Image covers 240 mm x 240 mm, Axial slice, Head
FLAIR MR.
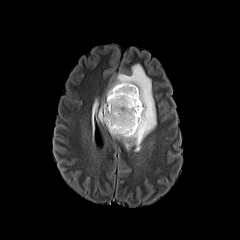
T1-weighted MR.
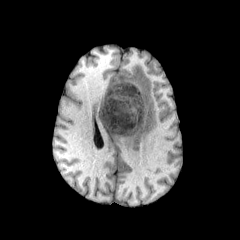
Post-contrast T1-weighted MR image.
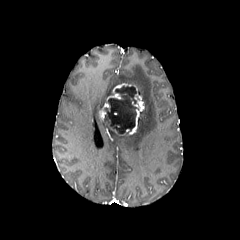
T2-weighted MRI.
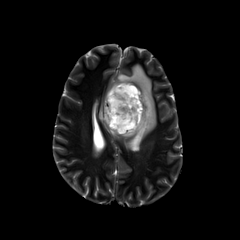
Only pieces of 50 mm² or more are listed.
enhancing tumor at 99 83 144 134
necrotic tumor core at 104 86 137 133
peritumoral edema at 105 64 156 151